Image width 240 mm
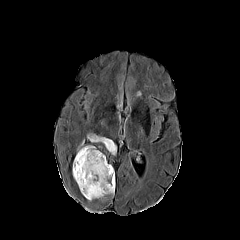
FLAIR magnetic resonance.
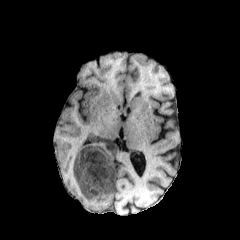
T1-weighted MR.
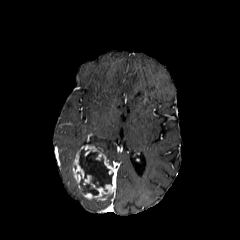
Post-contrast T1-weighted MR image.
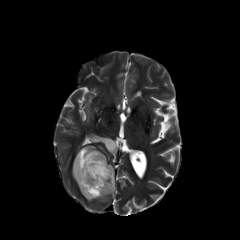
Same slice, T2-weighted MRI.
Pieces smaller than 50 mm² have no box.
The enhancing tumor is bounded by [72,145,115,200]. The largest peritumoral edema region lies within [90,134,115,155]. The 2 largest necrotic tumor core regions are located at [77,172,98,194], [79,149,113,187].